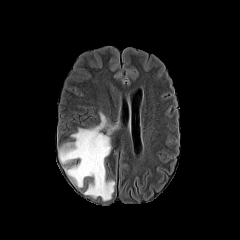
FLAIR MR image.
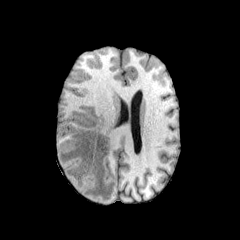
Same slice, T1-weighted MR image.
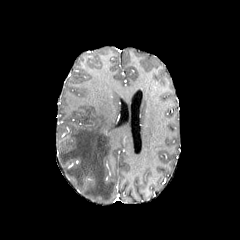
Post-contrast T1-weighted MR image of the same slice.
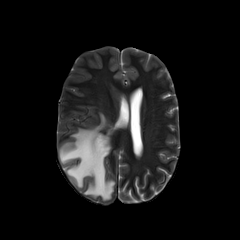
T2-weighted MRI of the same slice.
Axial view
The peritumoral edema is located at bbox(59, 112, 114, 200).